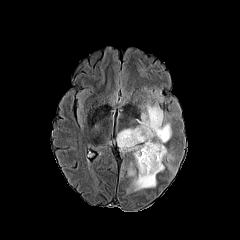
FLAIR MRI.
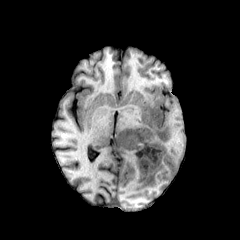
T1-weighted MRI.
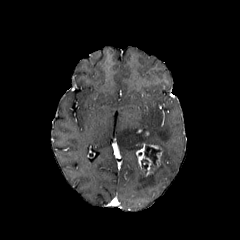
Post-contrast T1-weighted MR.
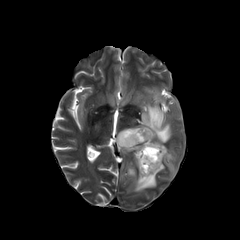
T2-weighted MR image.
Brain. Axial plane.
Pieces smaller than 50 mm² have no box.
peritumoral edema: bounding box [117, 101, 174, 194], [127, 168, 135, 175]
necrotic tumor core: bounding box [145, 147, 158, 155]
enhancing tumor: bounding box [136, 143, 163, 176]